FLAIR magnetic resonance.
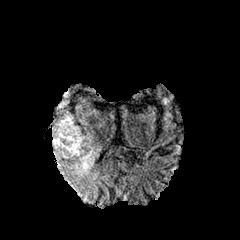
T1-weighted magnetic resonance.
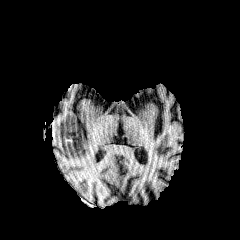
Post-contrast T1-weighted MR image.
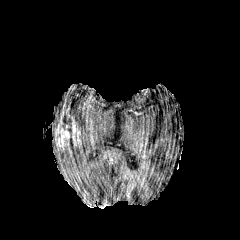
T2-weighted MR.
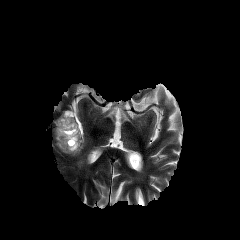
Head. Image size 240x240.
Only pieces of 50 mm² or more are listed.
peritumoral edema — (76,149,97,172), (53,137,82,156)
necrotic tumor core — (69,137,74,150)
enhancing tumor — (55,112,81,152)